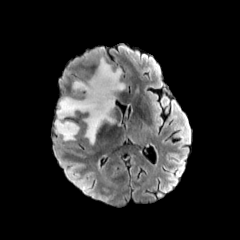
FLAIR magnetic resonance.
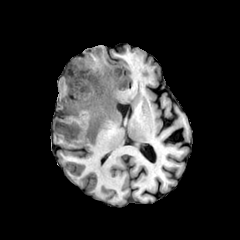
Same slice, T1-weighted magnetic resonance.
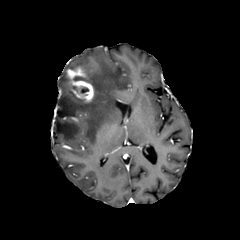
Post-contrast T1-weighted MR image of the same slice.
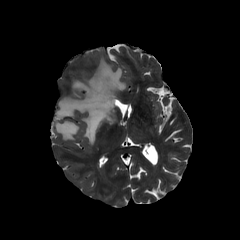
T2-weighted MR image.
240x240
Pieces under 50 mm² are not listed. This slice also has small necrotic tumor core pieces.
enhancing tumor at bbox(67, 68, 94, 102)
peritumoral edema at bbox(55, 57, 125, 144)